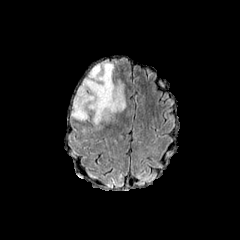
FLAIR MR.
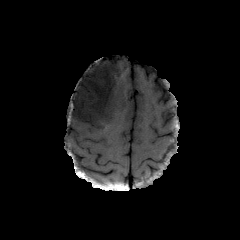
T1-weighted magnetic resonance.
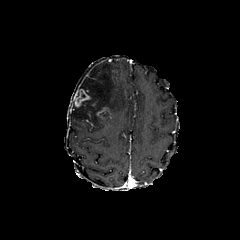
Post-contrast T1-weighted MR image.
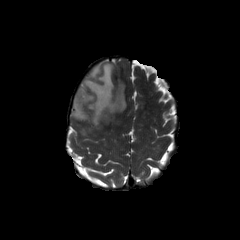
T2-weighted MR.
Axial plane
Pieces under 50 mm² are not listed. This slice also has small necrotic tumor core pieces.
The 2 largest enhancing tumor regions are located at box(96, 107, 112, 120); box(74, 89, 92, 108). The peritumoral edema is located at box(70, 62, 126, 128).